FLAIR MR image.
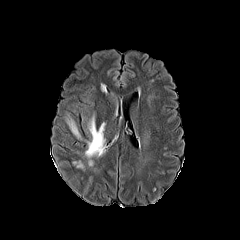
T1-weighted MRI.
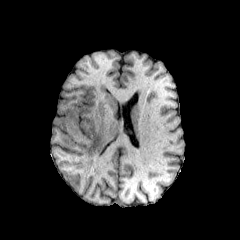
Post-contrast T1-weighted MRI.
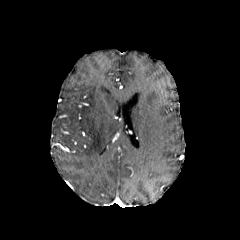
T2-weighted MR image.
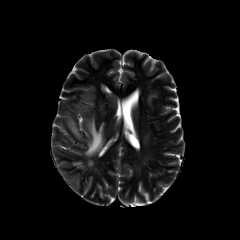
Brain
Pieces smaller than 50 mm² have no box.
peritumoral edema = box(85, 116, 105, 158); box(67, 119, 80, 137)